FLAIR magnetic resonance.
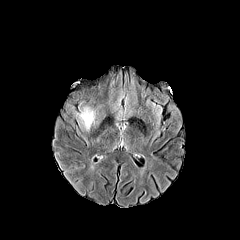
T1-weighted MRI.
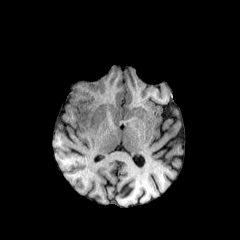
Post-contrast T1-weighted MR.
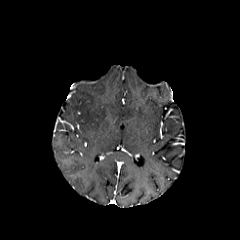
T2-weighted MR image.
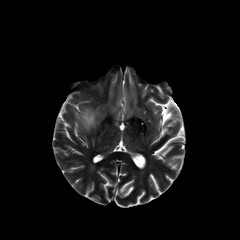
Brain. Axial slice.
The peritumoral edema lies within l=79, t=107, r=95, b=130.